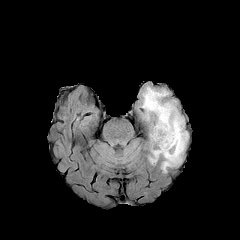
FLAIR MR.
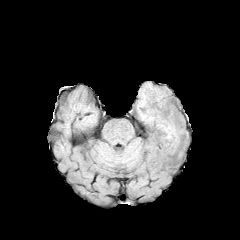
T1-weighted MR image.
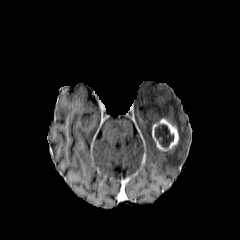
Same slice, post-contrast T1-weighted magnetic resonance.
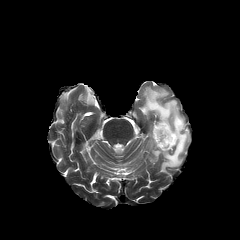
Same slice, T2-weighted MR.
Brain
peritumoral edema: bounding box <box>141,86,188,172</box>
enhancing tumor: bounding box <box>152,118,178,150</box>
necrotic tumor core: bounding box <box>155,124,173,147</box>